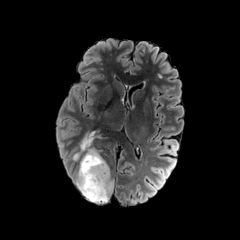
FLAIR MR image.
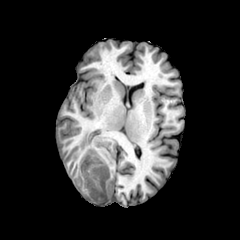
T1-weighted MRI of the same slice.
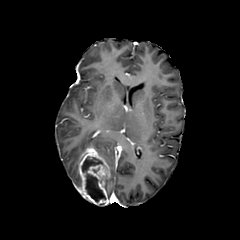
Post-contrast T1-weighted MR.
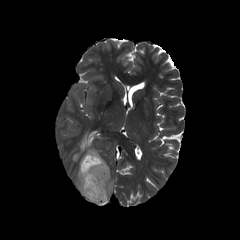
T2-weighted MR image.
Brain
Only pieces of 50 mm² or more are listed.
enhancing_tumor:
  - box=[79, 147, 111, 204]
necrotic_tumor_core:
  - box=[85, 174, 105, 202]
  - box=[82, 156, 102, 172]
peritumoral_edema:
  - box=[75, 166, 80, 188]
  - box=[108, 177, 113, 199]
  - box=[73, 133, 93, 160]